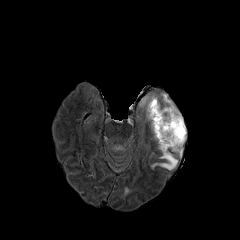
FLAIR MR.
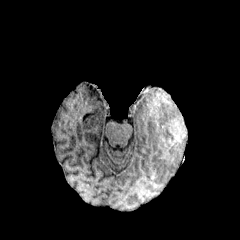
Same slice, T1-weighted MRI.
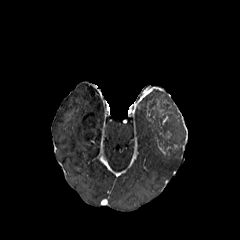
Same slice, post-contrast T1-weighted MRI.
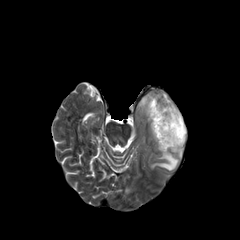
T2-weighted MR image of the same slice.
240x240 | Head
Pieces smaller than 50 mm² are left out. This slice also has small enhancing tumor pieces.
{
  "necrotic_tumor_core": [
    "(148,100,185,154)"
  ],
  "peritumoral_edema": [
    "(151,152,178,170)",
    "(173,147,182,156)",
    "(163,94,179,113)"
  ]
}